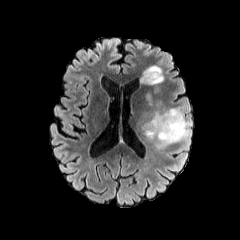
FLAIR MR image.
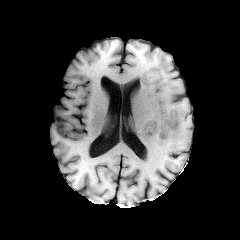
T1-weighted MR.
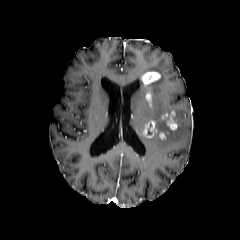
Post-contrast T1-weighted MRI of the same slice.
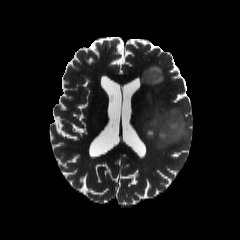
T2-weighted MRI.
Head.
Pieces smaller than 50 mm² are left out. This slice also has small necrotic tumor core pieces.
enhancing_tumor:
  - <box>161,110,178,131</box>
  - <box>145,90,151,106</box>
  - <box>143,120,167,139</box>
  - <box>141,71,160,86</box>
peritumoral_edema:
  - <box>140,65,191,148</box>